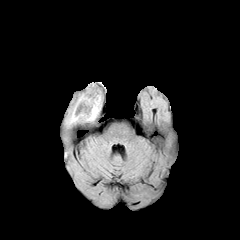
FLAIR MRI.
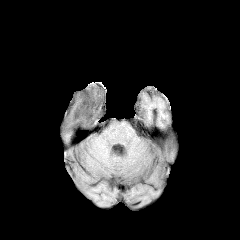
T1-weighted magnetic resonance of the same slice.
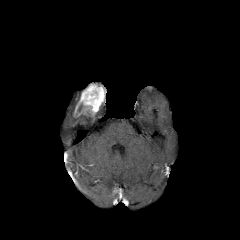
Same slice, post-contrast T1-weighted magnetic resonance.
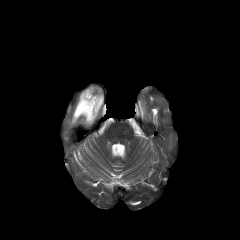
T2-weighted MRI of the same slice.
Axial view | Head
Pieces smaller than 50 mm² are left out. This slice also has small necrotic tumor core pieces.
enhancing_tumor:
  - (x1=73, y1=83, x2=104, y2=123)
peritumoral_edema:
  - (x1=66, y1=102, x2=76, y2=126)